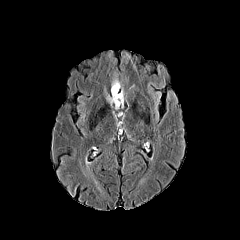
FLAIR MRI.
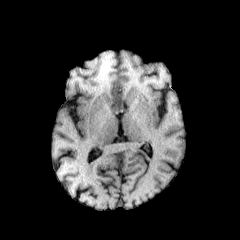
T1-weighted magnetic resonance.
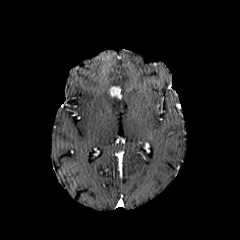
Post-contrast T1-weighted MRI.
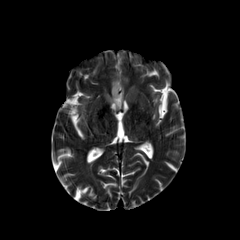
T2-weighted MR.
Brain
peritumoral edema — x1=112 y1=78 x2=120 y2=86, x1=107 y1=90 x2=124 y2=109
enhancing tumor — x1=110 y1=86 x2=121 y2=99